FLAIR magnetic resonance.
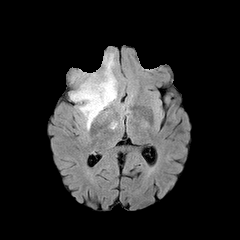
T1-weighted magnetic resonance.
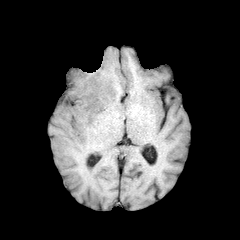
Post-contrast T1-weighted MR.
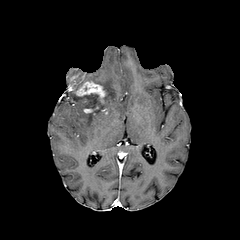
T2-weighted MR image.
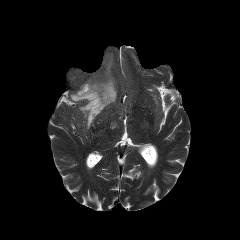
Image size 240x240.
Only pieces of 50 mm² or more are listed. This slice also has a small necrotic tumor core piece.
The largest peritumoral edema region lies within x1=70, y1=53, x2=117, y2=129. The largest enhancing tumor region appears at x1=75, y1=81, x2=105, y2=102.